Slice index 69. Axial plane.
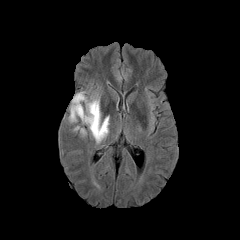
FLAIR MR.
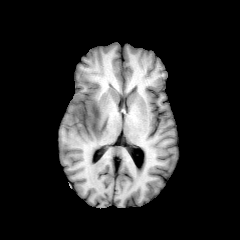
T1-weighted MR image of the same slice.
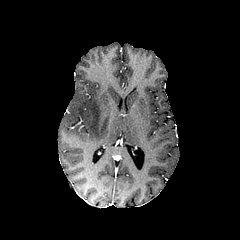
Post-contrast T1-weighted magnetic resonance of the same slice.
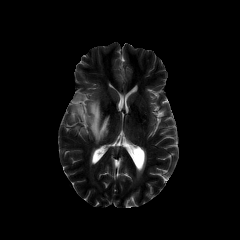
T2-weighted MR image.
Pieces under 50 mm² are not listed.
The largest peritumoral edema region is at region(69, 92, 109, 142).